FLAIR MR image.
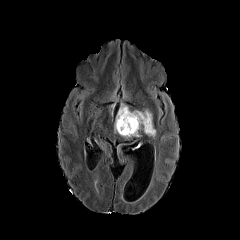
T1-weighted MR image.
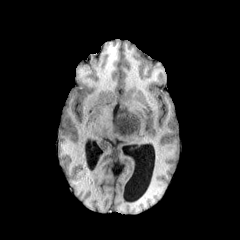
Post-contrast T1-weighted MR.
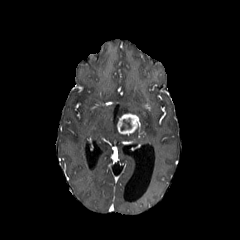
T2-weighted MR image.
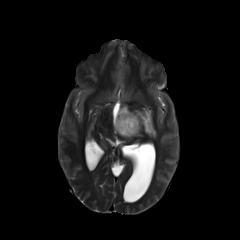
Head. Axial plane. 240x240.
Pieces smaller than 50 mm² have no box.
{
  "necrotic_tumor_core": [
    "(left=121, top=118, right=131, bottom=130)"
  ],
  "enhancing_tumor": [
    "(left=116, top=113, right=140, bottom=135)"
  ],
  "peritumoral_edema": [
    "(left=120, top=128, right=139, bottom=138)",
    "(left=116, top=103, right=156, bottom=138)"
  ]
}